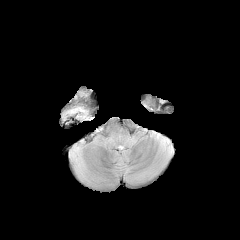
FLAIR magnetic resonance.
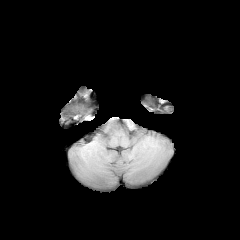
T1-weighted magnetic resonance of the same slice.
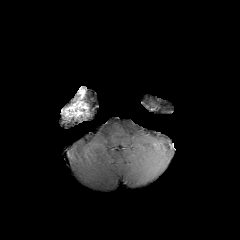
Post-contrast T1-weighted MRI.
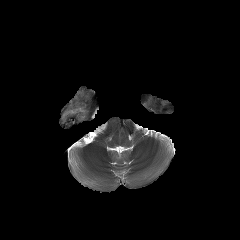
T2-weighted magnetic resonance.
Head; Image size 240x240; Axial plane
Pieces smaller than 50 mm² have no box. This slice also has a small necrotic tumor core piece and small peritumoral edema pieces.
enhancing tumor at box=[62, 88, 88, 118]